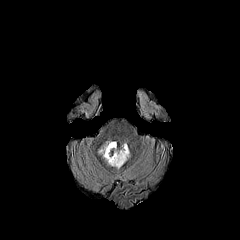
FLAIR MR.
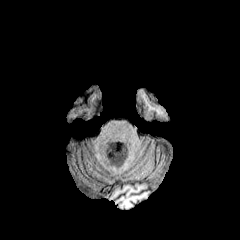
T1-weighted MRI.
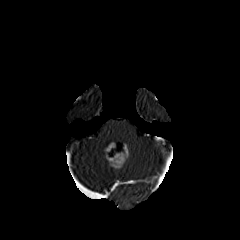
Same slice, post-contrast T1-weighted magnetic resonance.
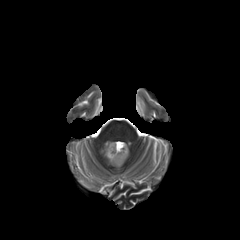
Same slice, T2-weighted MR image.
Axial plane
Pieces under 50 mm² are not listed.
{
  "enhancing_tumor": [
    "bbox=[104, 142, 128, 168]"
  ],
  "peritumoral_edema": [
    "bbox=[98, 141, 112, 164]"
  ],
  "necrotic_tumor_core": [
    "bbox=[108, 148, 117, 156]"
  ]
}